FLAIR MRI.
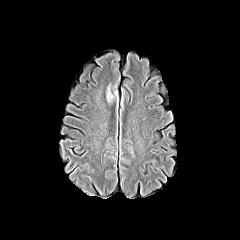
T1-weighted magnetic resonance.
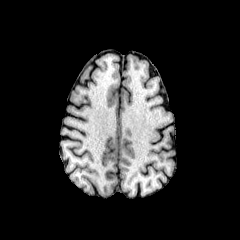
Post-contrast T1-weighted MRI.
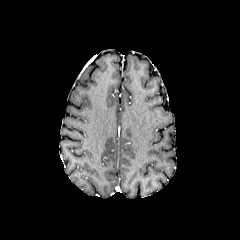
T2-weighted magnetic resonance.
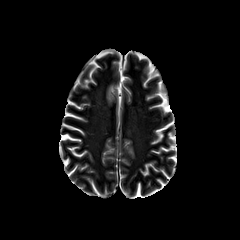
Brain.
The peritumoral edema lies within [106,82,118,105].